FLAIR MR image.
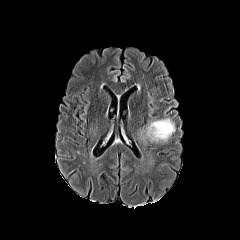
T1-weighted MRI.
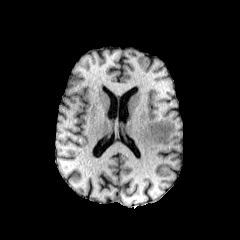
Post-contrast T1-weighted MR.
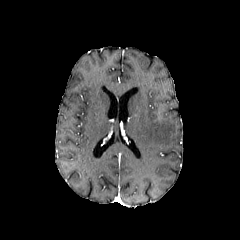
T2-weighted MR.
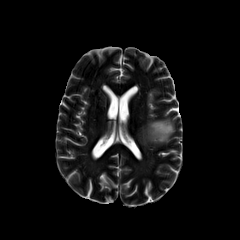
Head.
<segmentation>
  <peritumoral_edema>(x1=143, y1=118, x2=174, y2=142)</peritumoral_edema>
</segmentation>